Head | Image width 240 mm | Axial slice
FLAIR magnetic resonance.
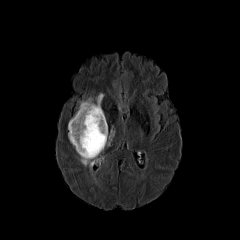
T1-weighted MR.
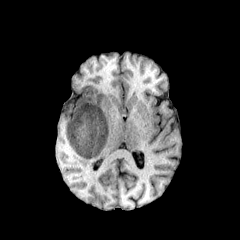
Post-contrast T1-weighted magnetic resonance.
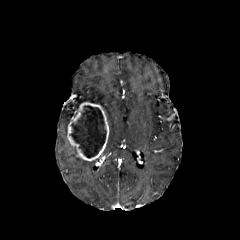
T2-weighted magnetic resonance.
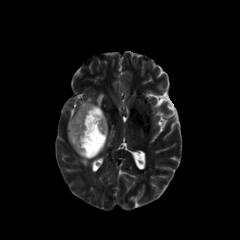
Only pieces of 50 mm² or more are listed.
enhancing tumor: 67:102:109:161 | necrotic tumor core: 71:105:106:157 | peritumoral edema: 79:157:100:169, 96:93:103:104, 106:129:114:146